Axial plane, Brain, Slice 126 of 155
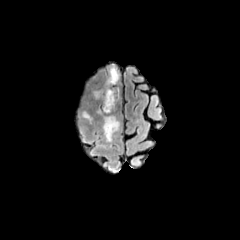
FLAIR MR image.
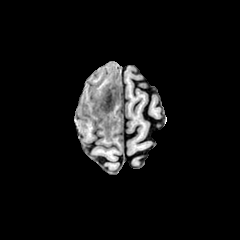
T1-weighted MR of the same slice.
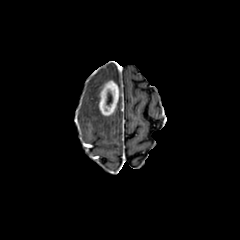
Post-contrast T1-weighted MRI.
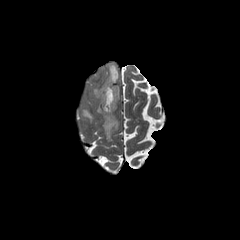
T2-weighted MR.
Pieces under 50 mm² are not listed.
{"enhancing_tumor": ["(99,80,119,115)"], "necrotic_tumor_core": ["(106,92,112,105)"], "peritumoral_edema": ["(82,110,91,121)", "(106,64,119,83)", "(103,114,119,141)"]}